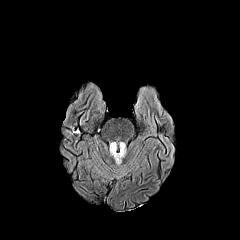
FLAIR MR image.
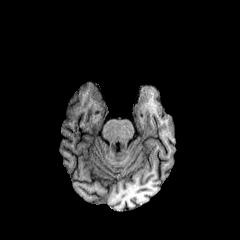
Same slice, T1-weighted MR.
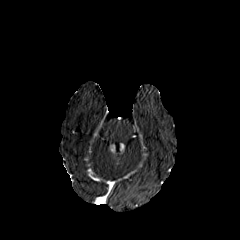
Post-contrast T1-weighted magnetic resonance of the same slice.
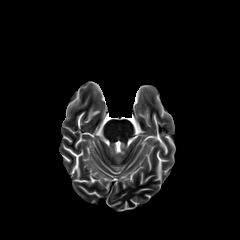
Same slice, T2-weighted MR.
Axial slice | Image size 240x240
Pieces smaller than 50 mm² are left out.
peritumoral edema — (left=109, top=143, right=126, bottom=165)
enhancing tumor — (left=110, top=144, right=116, bottom=155), (left=119, top=143, right=124, bottom=154)